FLAIR MR.
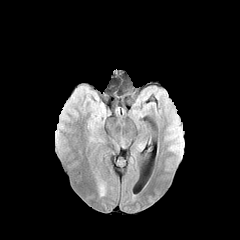
T1-weighted MR.
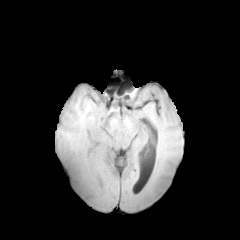
Post-contrast T1-weighted magnetic resonance.
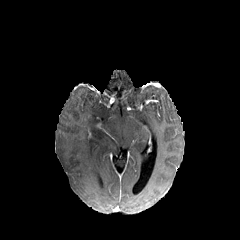
T2-weighted magnetic resonance.
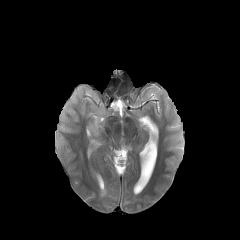
Image size 240x240 | Axial view
peritumoral edema = [x1=99, y1=180, x2=105, y2=195]